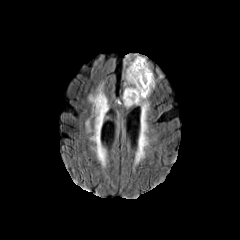
FLAIR MRI.
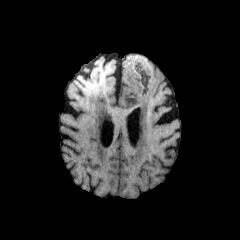
T1-weighted MR.
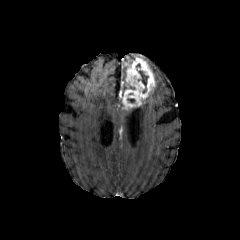
Post-contrast T1-weighted MR image of the same slice.
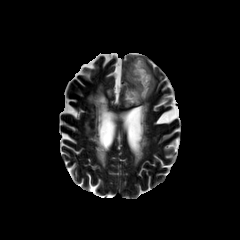
T2-weighted magnetic resonance.
240x240 px
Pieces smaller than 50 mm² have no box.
enhancing tumor — bbox(121, 57, 155, 109)
necrotic tumor core — bbox(138, 70, 148, 86)
peritumoral edema — bbox(124, 55, 139, 77)